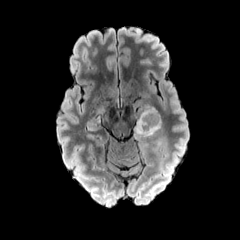
FLAIR MR image.
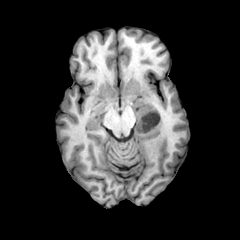
T1-weighted magnetic resonance of the same slice.
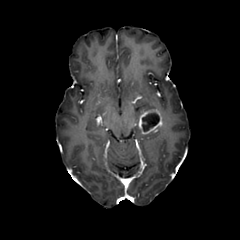
Same slice, post-contrast T1-weighted MRI.
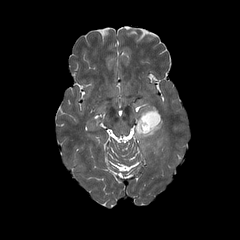
T2-weighted magnetic resonance.
Axial plane
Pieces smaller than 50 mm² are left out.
{"enhancing_tumor": ["x1=138, y1=108, x2=162, y2=134"], "necrotic_tumor_core": ["x1=142, y1=113, x2=159, y2=131"], "peritumoral_edema": ["x1=134, y1=117, x2=161, y2=141"]}